FLAIR MR image.
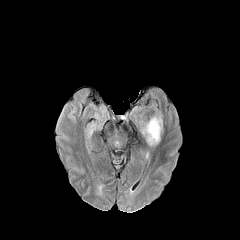
T1-weighted magnetic resonance.
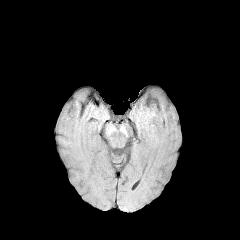
Post-contrast T1-weighted MR.
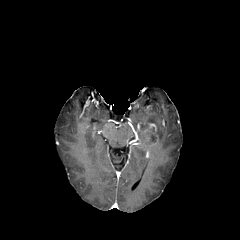
T2-weighted magnetic resonance.
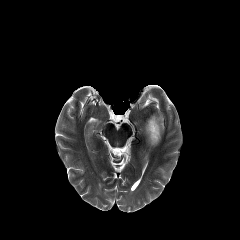
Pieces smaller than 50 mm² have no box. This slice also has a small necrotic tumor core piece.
peritumoral edema: <box>141,114,162,146</box>
enhancing tumor: <box>144,123,157,145</box>